FLAIR MR.
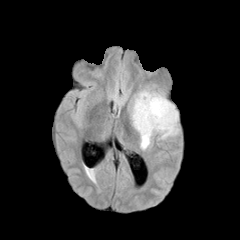
T1-weighted MRI.
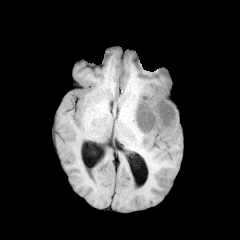
Post-contrast T1-weighted MRI.
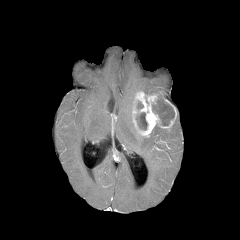
T2-weighted MR.
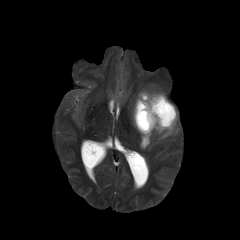
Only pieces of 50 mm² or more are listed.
necrotic tumor core — box(152, 98, 174, 125); box(136, 112, 147, 129)
enhancing tumor — box(132, 91, 177, 137)
peritumoral edema — box(141, 89, 161, 94); box(140, 114, 178, 150)